240x240, Axial view
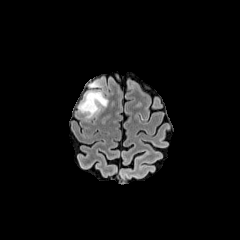
FLAIR MR image.
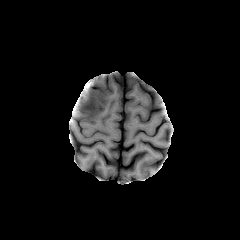
T1-weighted MR image of the same slice.
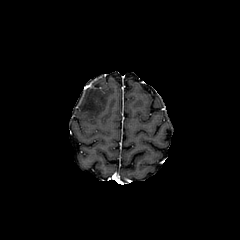
Same slice, post-contrast T1-weighted magnetic resonance.
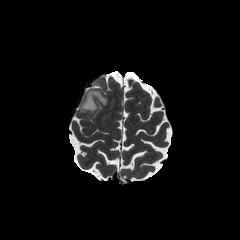
T2-weighted MR.
Findings:
- peritumoral edema: x1=90 y1=81 x2=100 y2=87, x1=78 y1=90 x2=108 y2=118